Slice index 125, 240x240 px
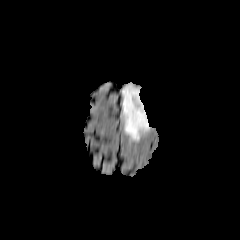
FLAIR MR.
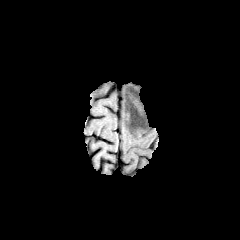
Same slice, T1-weighted MRI.
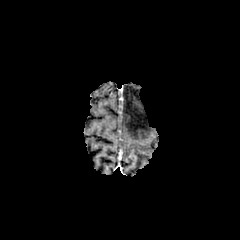
Same slice, post-contrast T1-weighted MRI.
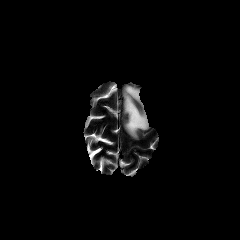
T2-weighted MRI of the same slice.
The peritumoral edema is at (x1=123, y1=85, x2=149, y2=140).